FLAIR MR image.
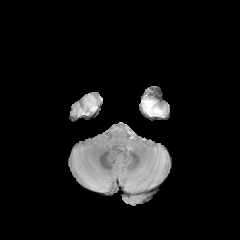
T1-weighted magnetic resonance.
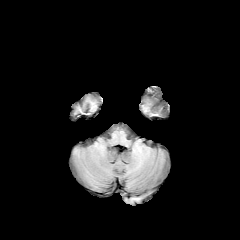
Post-contrast T1-weighted MRI.
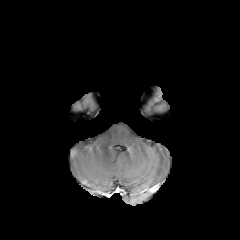
T2-weighted MR.
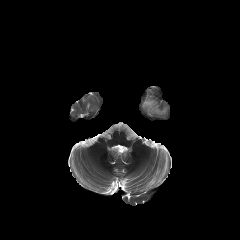
Brain | Axial plane
The peritumoral edema is at l=142, t=98, r=165, b=115.